Slice index 114; Head
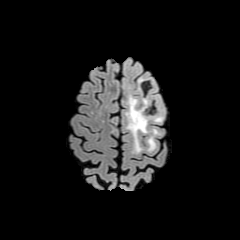
FLAIR MR image.
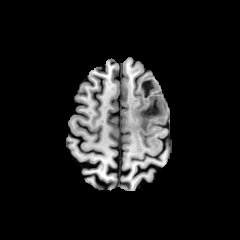
T1-weighted MRI.
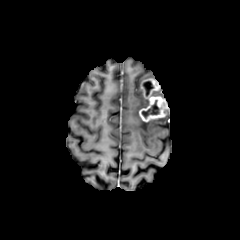
Post-contrast T1-weighted MRI of the same slice.
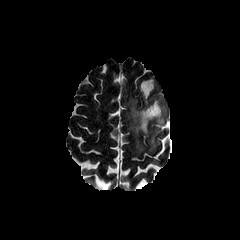
T2-weighted MRI.
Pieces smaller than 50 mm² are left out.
The enhancing tumor is at <box>139,78,167,122</box>. 2 necrotic tumor core regions are bounded by <box>144,81,152,94</box>, <box>142,103,158,117</box>. The 2 largest peritumoral edema regions appear at <box>125,94,159,152</box>, <box>151,118,163,123</box>.